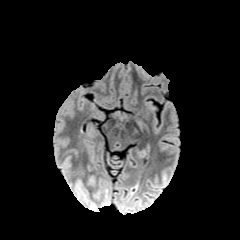
FLAIR MRI.
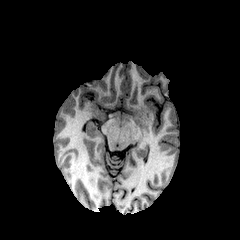
T1-weighted MR.
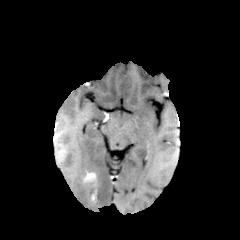
Post-contrast T1-weighted magnetic resonance.
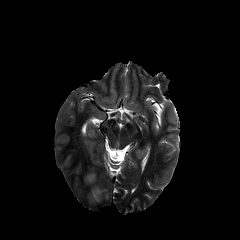
Same slice, T2-weighted MR image.
Head, Axial plane
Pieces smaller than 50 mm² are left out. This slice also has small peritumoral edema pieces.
- enhancing tumor: (x1=86, y1=173, x2=95, y2=181)